FLAIR magnetic resonance.
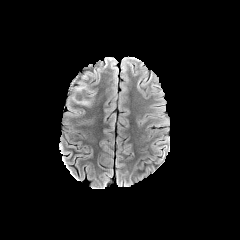
T1-weighted magnetic resonance.
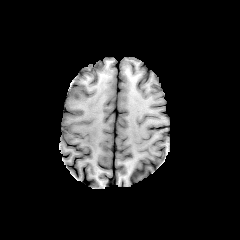
Post-contrast T1-weighted MRI.
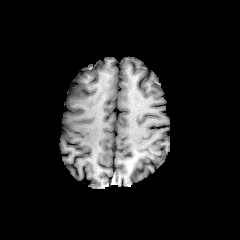
T2-weighted MR.
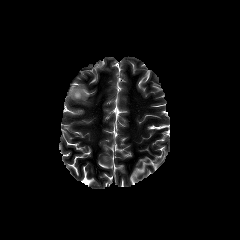
Brain; 240x240
peritumoral_edema:
  - l=69, t=82, r=90, b=105